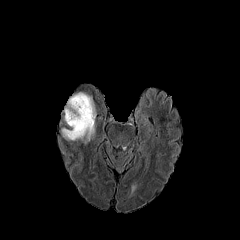
FLAIR MRI.
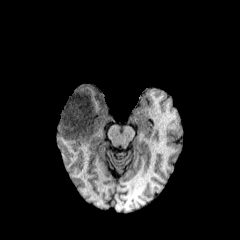
T1-weighted MR.
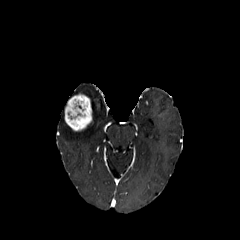
Post-contrast T1-weighted MRI.
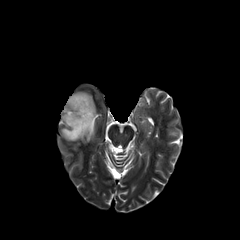
T2-weighted MR.
Image size 240x240, Axial slice
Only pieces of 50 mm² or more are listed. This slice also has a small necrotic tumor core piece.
Annotated regions:
* enhancing tumor: [64,93,92,131]
* peritumoral edema: [61,124,91,143], [79,92,96,118]